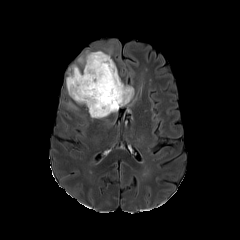
FLAIR MR.
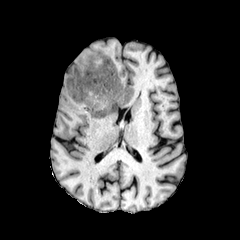
T1-weighted MRI of the same slice.
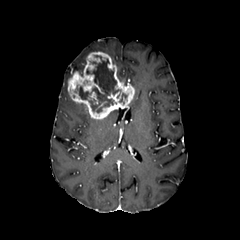
Post-contrast T1-weighted MR image.
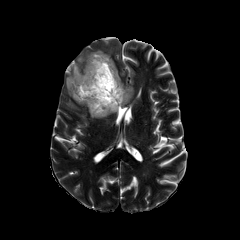
Same slice, T2-weighted magnetic resonance.
Image size 240x240, Axial view, Brain
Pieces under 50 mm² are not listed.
The 3 largest peritumoral edema regions are bounded by box=[66, 64, 82, 87]; box=[67, 102, 76, 109]; box=[77, 51, 90, 64]. The largest enhancing tumor region is located at box=[67, 51, 134, 119]. The 2 largest necrotic tumor core regions appear at box=[78, 86, 90, 99]; box=[86, 55, 120, 112].